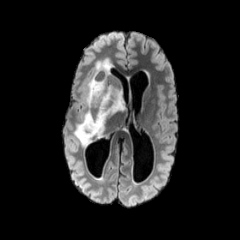
FLAIR MR image.
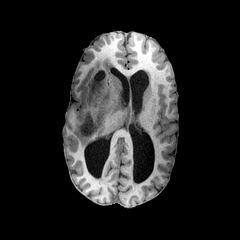
T1-weighted magnetic resonance of the same slice.
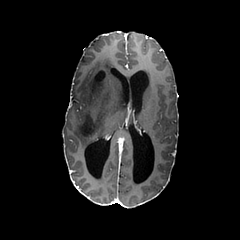
Post-contrast T1-weighted MR.
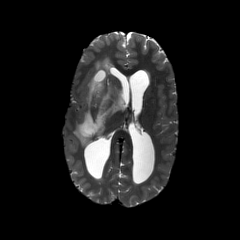
T2-weighted MR.
Head; 240x240
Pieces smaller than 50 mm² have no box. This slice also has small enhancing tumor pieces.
peritumoral edema: bounding box x1=74, y1=58, x2=125, y2=147
necrotic tumor core: bounding box x1=96, y1=71, x2=103, y2=80